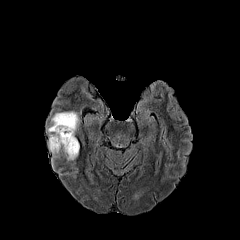
FLAIR MRI.
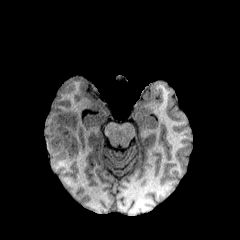
Same slice, T1-weighted MR image.
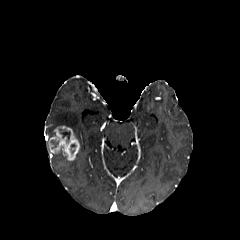
Post-contrast T1-weighted MR.
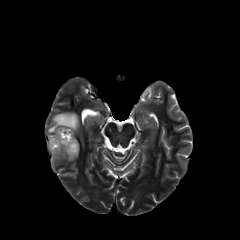
Same slice, T2-weighted magnetic resonance.
Axial plane | 240x240 | Brain
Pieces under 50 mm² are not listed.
The largest peritumoral edema region is bounded by rect(47, 111, 80, 137). The largest necrotic tumor core region appears at rect(60, 131, 70, 141). The enhancing tumor is bounded by rect(48, 125, 79, 160).